Head; Axial view; Image covers 240 mm x 240 mm
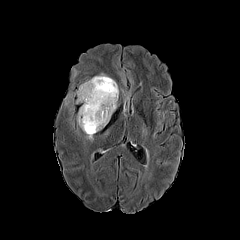
FLAIR MR image.
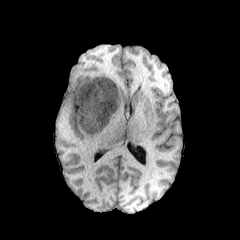
T1-weighted MRI.
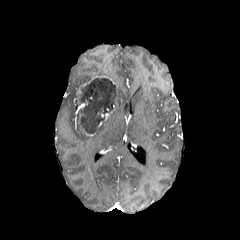
Post-contrast T1-weighted magnetic resonance.
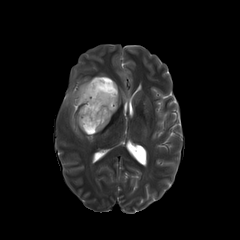
T2-weighted magnetic resonance.
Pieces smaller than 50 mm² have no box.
Findings:
* peritumoral edema: [65,92,76,105], [93,116,110,133], [77,108,86,133]
* enhancing tumor: [77,75,117,97], [101,109,115,121]
* necrotic tumor core: [79,78,117,133]